Brain. Axial plane.
FLAIR MRI.
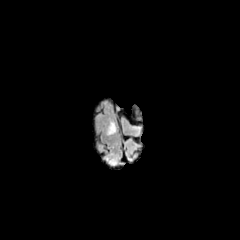
T1-weighted MR.
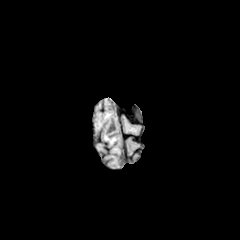
Post-contrast T1-weighted magnetic resonance.
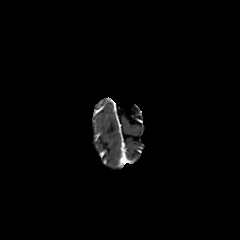
T2-weighted MR image.
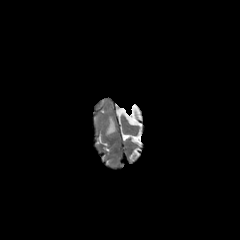
<segmentation>
  <peritumoral_edema>(107,119,116,134)</peritumoral_edema>
</segmentation>